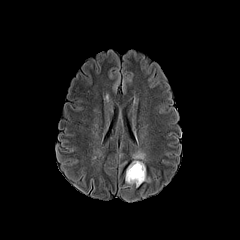
FLAIR MR.
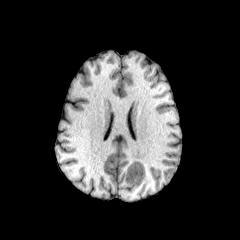
T1-weighted magnetic resonance.
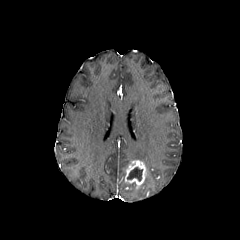
Post-contrast T1-weighted magnetic resonance of the same slice.
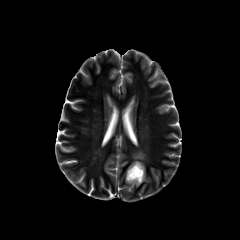
T2-weighted MR image.
Head
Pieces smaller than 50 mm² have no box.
necrotic_tumor_core:
  - <box>127,167,142,181</box>
peritumoral_edema:
  - <box>133,151,145,161</box>
enhancing_tumor:
  - <box>125,160,146,187</box>